Axial plane.
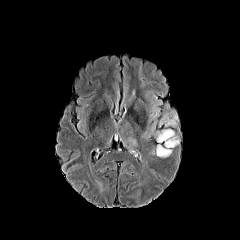
FLAIR MR.
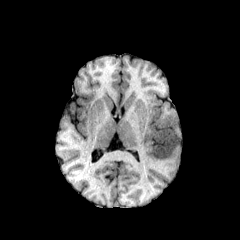
T1-weighted MR image.
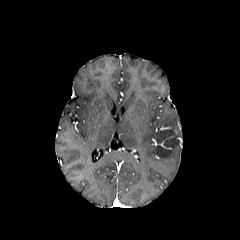
Post-contrast T1-weighted MRI.
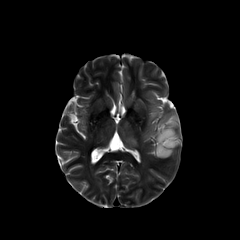
Same slice, T2-weighted MR.
3 peritumoral edema regions are bounded by [x1=121, y1=137, x2=140, y2=148], [x1=158, y1=109, x2=179, y2=128], [x1=151, y1=129, x2=180, y2=157].